Image width 240 mm; Brain; Slice index 103; Axial view
FLAIR MR.
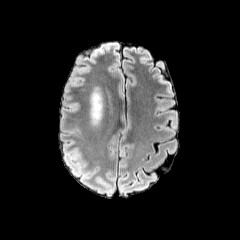
T1-weighted magnetic resonance.
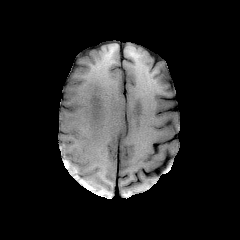
Post-contrast T1-weighted MR image.
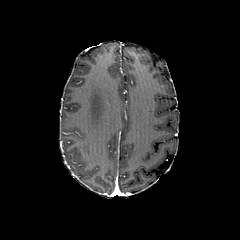
T2-weighted magnetic resonance.
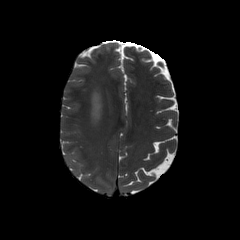
peritumoral edema: <bbox>91, 87, 102, 125</bbox>